FLAIR MRI.
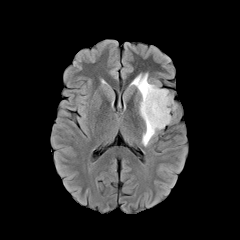
T1-weighted magnetic resonance.
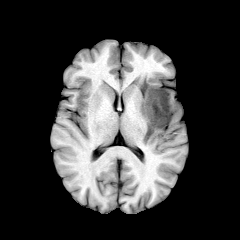
Post-contrast T1-weighted magnetic resonance.
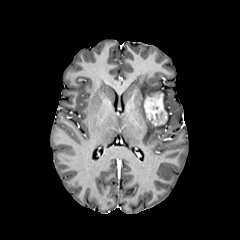
T2-weighted magnetic resonance.
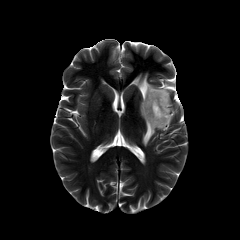
Head.
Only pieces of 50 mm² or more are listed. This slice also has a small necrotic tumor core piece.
<segmentation>
  <peritumoral_edema>box=[131, 73, 175, 146]</peritumoral_edema>
  <enhancing_tumor>box=[144, 92, 167, 125]</enhancing_tumor>
</segmentation>